FLAIR MRI.
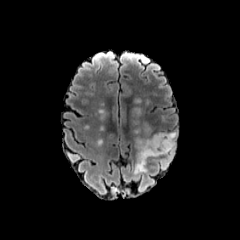
T1-weighted magnetic resonance.
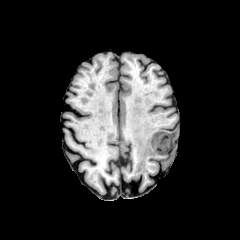
Post-contrast T1-weighted MR.
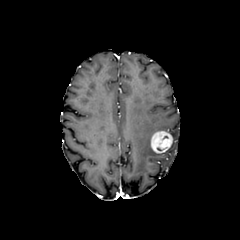
T2-weighted MR image.
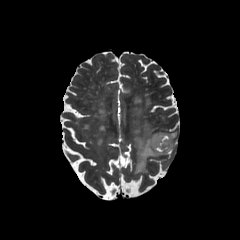
240x240 px; Head
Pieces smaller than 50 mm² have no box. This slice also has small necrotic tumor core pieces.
The largest peritumoral edema region is at 133,125,177,174. The enhancing tumor is at 151,131,172,153.